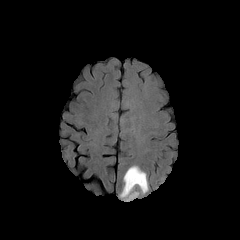
FLAIR MRI.
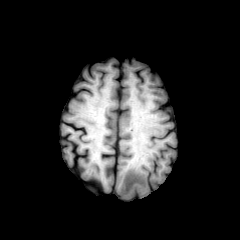
Same slice, T1-weighted MRI.
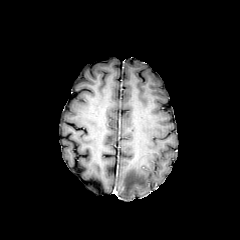
Same slice, post-contrast T1-weighted MR image.
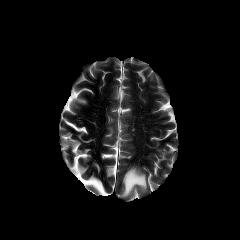
T2-weighted magnetic resonance.
Image size 240x240. Axial plane.
peritumoral edema: x1=120 y1=166 x2=147 y2=200